Image width 240 mm.
FLAIR magnetic resonance.
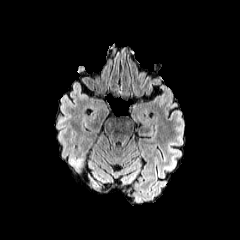
T1-weighted MRI.
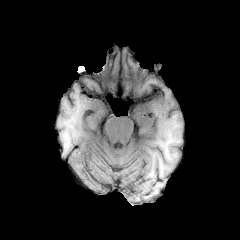
Post-contrast T1-weighted magnetic resonance.
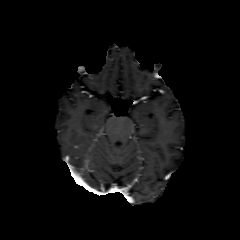
T2-weighted MRI.
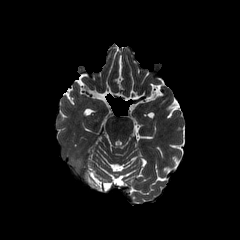
peritumoral edema: l=72, t=158, r=80, b=166